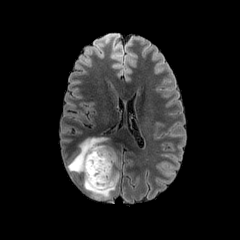
FLAIR MRI.
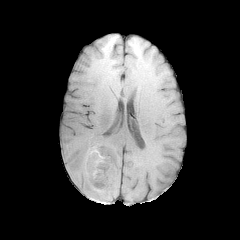
T1-weighted MRI of the same slice.
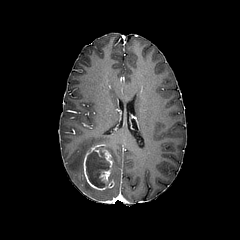
Post-contrast T1-weighted MRI.
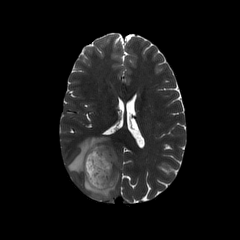
Same slice, T2-weighted magnetic resonance.
Axial plane | Head
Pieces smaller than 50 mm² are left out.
The enhancing tumor is at l=83, t=144, r=115, b=190. The peritumoral edema is bounded by l=67, t=136, r=119, b=199. The largest necrotic tumor core region is located at l=86, t=149, r=111, b=187.